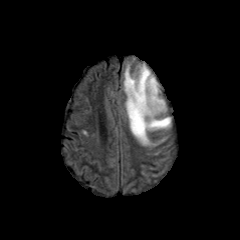
FLAIR magnetic resonance.
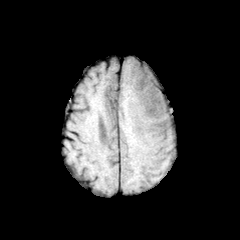
T1-weighted MR image.
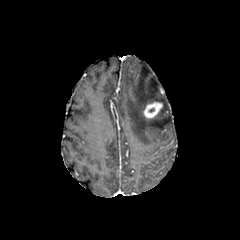
Post-contrast T1-weighted MR of the same slice.
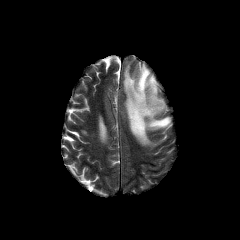
T2-weighted MR of the same slice.
240x240
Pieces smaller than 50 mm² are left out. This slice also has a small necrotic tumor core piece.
enhancing tumor at l=143, t=101, r=162, b=118
peritumoral edema at l=123, t=64, r=170, b=145